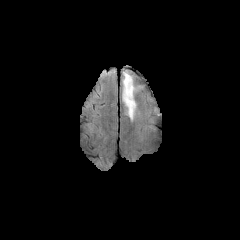
FLAIR MR.
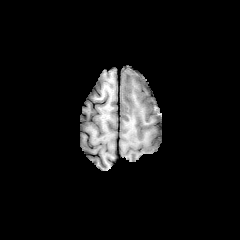
T1-weighted MRI.
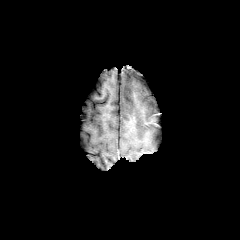
Same slice, post-contrast T1-weighted MRI.
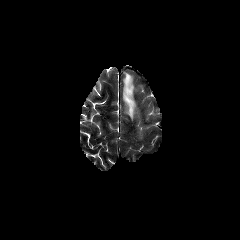
T2-weighted magnetic resonance.
Head; 240x240 px
Annotated regions:
• peritumoral edema: (122,71,136,120)